FLAIR magnetic resonance.
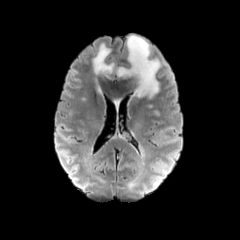
T1-weighted MR image.
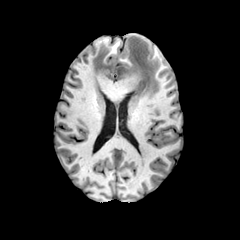
Post-contrast T1-weighted MRI.
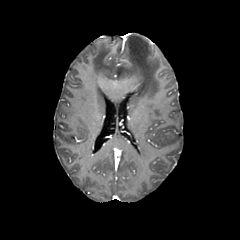
T2-weighted magnetic resonance.
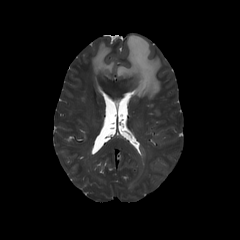
240x240 px
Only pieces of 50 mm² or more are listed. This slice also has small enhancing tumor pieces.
The 2 largest peritumoral edema regions appear at x1=116, y1=35, x2=160, y2=97; x1=92, y1=43, x2=113, y2=76.